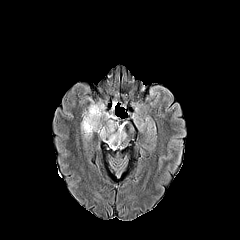
FLAIR MR image.
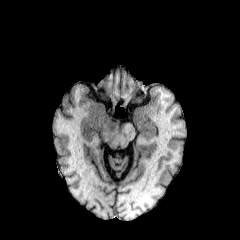
T1-weighted MR image.
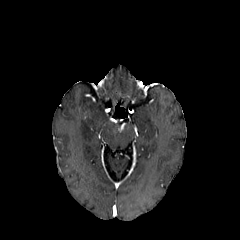
Post-contrast T1-weighted MR.
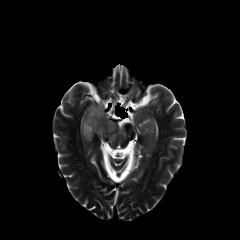
T2-weighted MRI.
240x240; Brain; Axial view
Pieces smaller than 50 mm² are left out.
The largest peritumoral edema region is bounded by {"x1": 81, "y1": 102, "x2": 126, "y2": 148}.